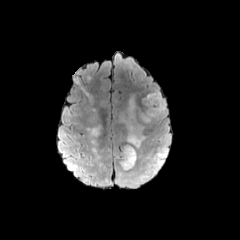
FLAIR MR.
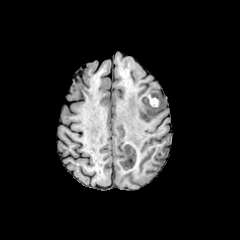
T1-weighted MR.
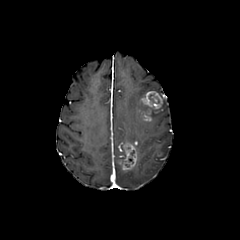
Post-contrast T1-weighted MRI of the same slice.
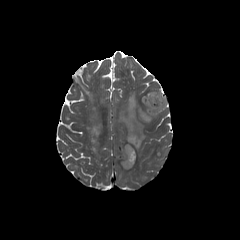
Same slice, T2-weighted MR image.
Head. 240x240.
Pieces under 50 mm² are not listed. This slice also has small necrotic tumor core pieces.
enhancing tumor: region(119, 143, 137, 170); region(139, 91, 162, 121) | peritumoral edema: region(157, 149, 166, 158); region(127, 125, 143, 149); region(152, 91, 165, 118); region(117, 170, 146, 185); region(129, 97, 135, 117)